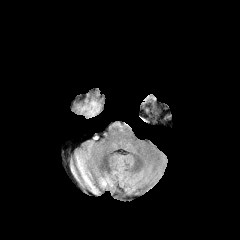
FLAIR magnetic resonance.
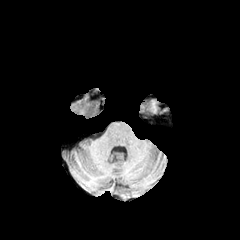
Same slice, T1-weighted MR.
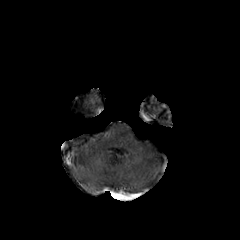
Post-contrast T1-weighted magnetic resonance.
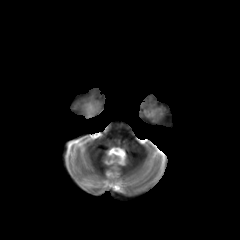
Same slice, T2-weighted MR image.
Image size 240x240; Axial plane; Brain
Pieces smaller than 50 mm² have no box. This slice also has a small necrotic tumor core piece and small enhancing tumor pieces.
The peritumoral edema is bounded by [78,102,93,116].